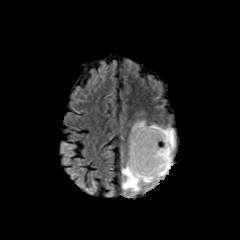
FLAIR MR.
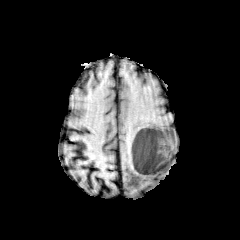
T1-weighted MR image.
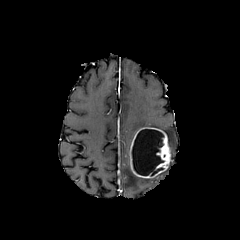
Post-contrast T1-weighted MR image.
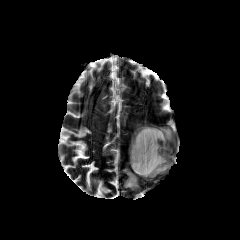
T2-weighted MRI.
enhancing tumor = rect(129, 127, 171, 178)
necrotic tumor core = rect(132, 129, 163, 175)
peritumoral edema = rect(122, 160, 172, 191); rect(129, 120, 175, 158)